Slice index 110 | 240x240 | Head
FLAIR MRI.
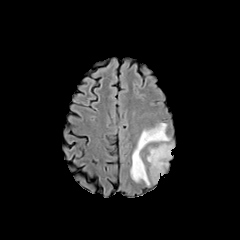
T1-weighted MRI.
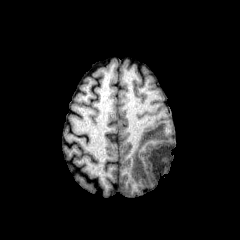
Post-contrast T1-weighted MRI.
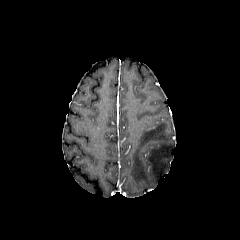
T2-weighted magnetic resonance.
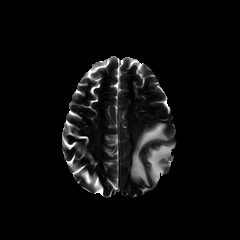
<segmentation>
  <peritumoral_edema>(x1=130, y1=123, x2=169, y2=185), (x1=147, y1=144, x2=173, y2=182)</peritumoral_edema>
</segmentation>